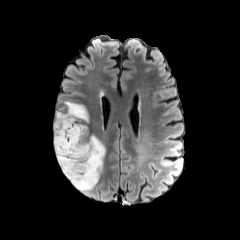
FLAIR MR.
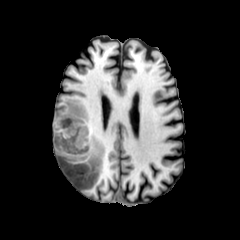
T1-weighted MR.
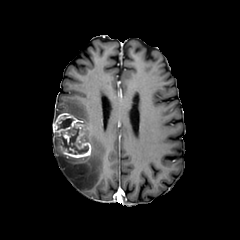
Post-contrast T1-weighted magnetic resonance.
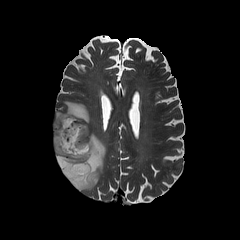
Same slice, T2-weighted MR.
Axial slice
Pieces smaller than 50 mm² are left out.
{"necrotic_tumor_core": ["box=[57, 127, 88, 154]", "box=[57, 115, 72, 129]"], "peritumoral_edema": ["box=[55, 100, 91, 131]", "box=[54, 132, 105, 193]"], "enhancing_tumor": ["box=[53, 113, 91, 158]"]}